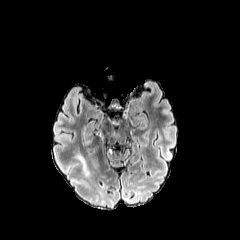
FLAIR MR image.
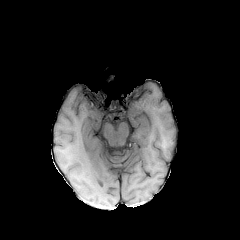
Same slice, T1-weighted MRI.
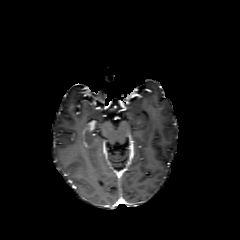
Post-contrast T1-weighted MRI.
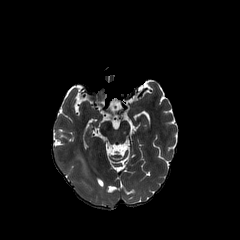
T2-weighted MR image of the same slice.
Brain
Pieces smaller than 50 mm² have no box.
<segmentation>
  <peritumoral_edema>(x1=77, y1=154, x2=85, y2=170)</peritumoral_edema>
</segmentation>